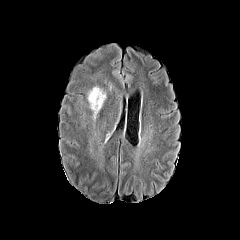
FLAIR MRI.
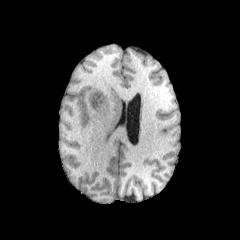
Same slice, T1-weighted magnetic resonance.
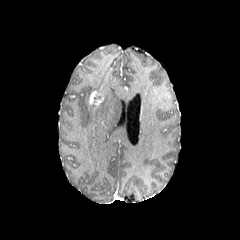
Post-contrast T1-weighted magnetic resonance of the same slice.
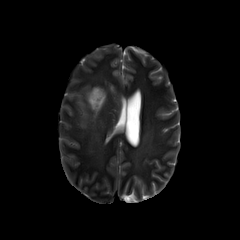
T2-weighted MR image of the same slice.
Image size 240x240
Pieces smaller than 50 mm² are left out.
The largest peritumoral edema region is at rect(90, 93, 106, 119). The enhancing tumor is at rect(89, 88, 104, 106).